FLAIR MRI.
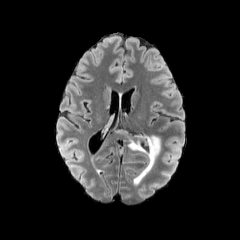
T1-weighted MRI.
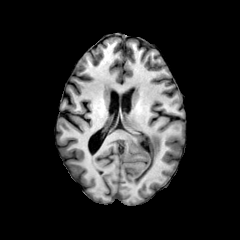
Post-contrast T1-weighted MR image.
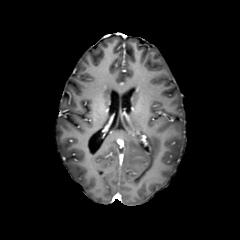
T2-weighted MR.
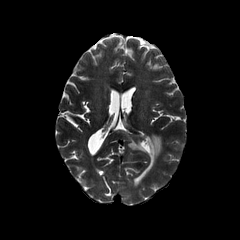
Axial slice. Head. 240x240 px.
Annotated regions:
• peritumoral edema: bbox(127, 135, 160, 185)